Head, Slice index 42
FLAIR MR.
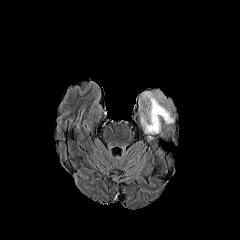
T1-weighted MR image.
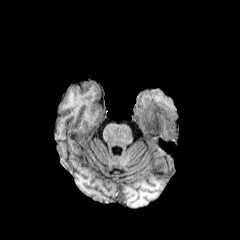
Post-contrast T1-weighted MR image.
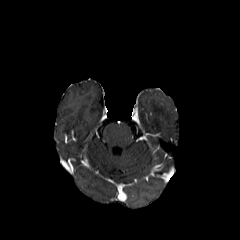
T2-weighted MR image.
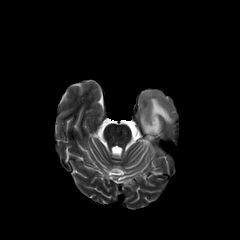
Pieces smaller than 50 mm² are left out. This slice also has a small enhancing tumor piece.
peritumoral edema: left=139, top=90, right=173, bottom=134